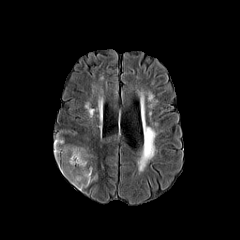
FLAIR magnetic resonance.
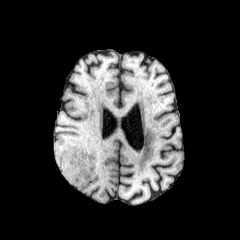
Same slice, T1-weighted magnetic resonance.
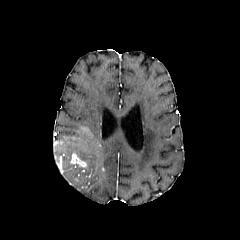
Post-contrast T1-weighted MRI.
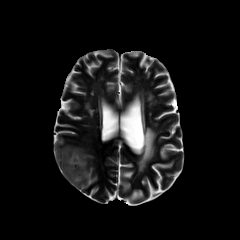
T2-weighted MRI.
240x240 px | Brain
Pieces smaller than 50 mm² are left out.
The peritumoral edema is located at <box>53,136,96,190</box>. The largest enhancing tumor region is located at <box>69,153,86,167</box>.